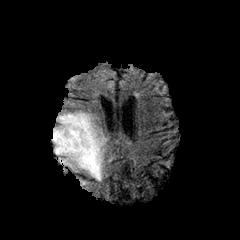
FLAIR MR.
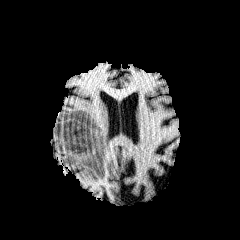
T1-weighted MR image.
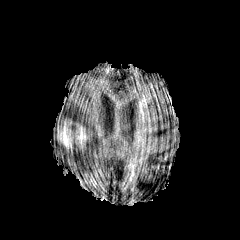
Same slice, post-contrast T1-weighted MR image.
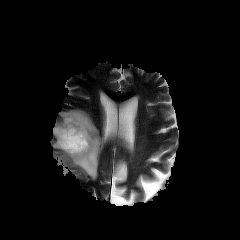
T2-weighted MRI of the same slice.
Brain; Axial plane
The peritumoral edema is at box(52, 110, 105, 179). The enhancing tumor is at box(57, 118, 89, 155).